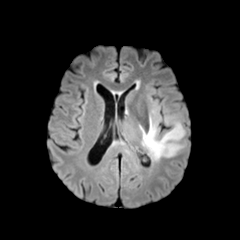
FLAIR magnetic resonance.
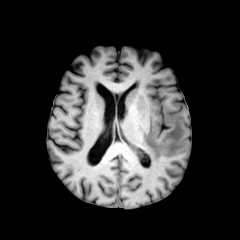
Same slice, T1-weighted MR image.
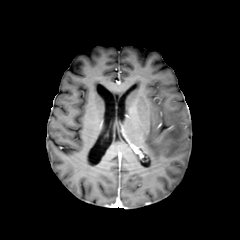
Post-contrast T1-weighted MR.
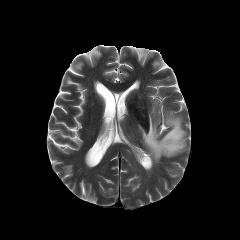
Same slice, T2-weighted MR.
Image size 240x240; Brain; Axial plane
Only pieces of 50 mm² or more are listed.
The largest peritumoral edema region lies within <bbox>140, 115, 185, 161</bbox>.